Slice 88/155; Head
FLAIR MR.
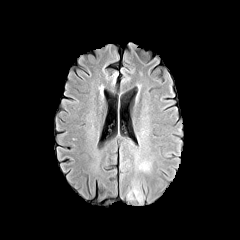
T1-weighted MR image.
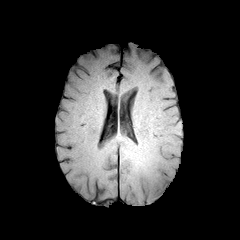
Post-contrast T1-weighted MR.
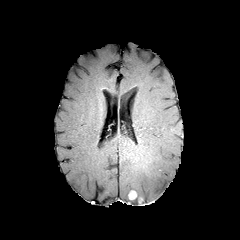
T2-weighted MR image.
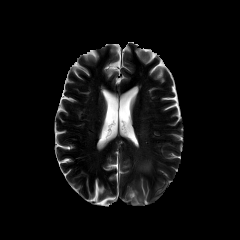
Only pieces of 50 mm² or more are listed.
peritumoral_edema:
  - region(131, 189, 142, 202)
enhancing_tumor:
  - region(128, 191, 136, 199)